Slice 64 of 155
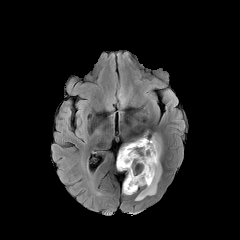
FLAIR magnetic resonance.
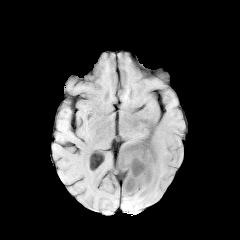
T1-weighted MR image of the same slice.
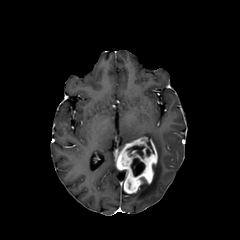
Post-contrast T1-weighted MRI.
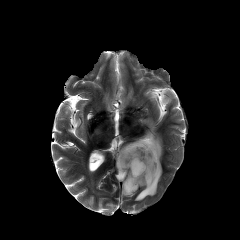
T2-weighted magnetic resonance.
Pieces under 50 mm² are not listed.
necrotic tumor core = bbox(127, 145, 144, 157); bbox(131, 158, 144, 176)
peritumoral edema = bbox(135, 135, 161, 200)
enhancing tumor = bbox(116, 137, 157, 193)